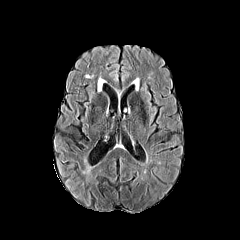
FLAIR MR.
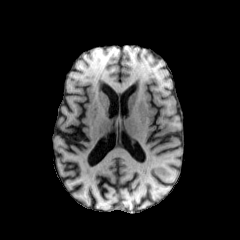
Same slice, T1-weighted MRI.
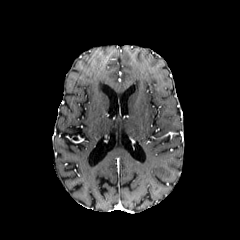
Post-contrast T1-weighted MR of the same slice.
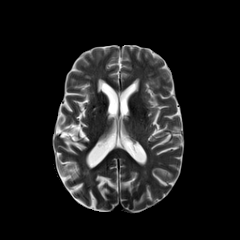
T2-weighted magnetic resonance.
Axial view | Brain
• peritumoral edema: rect(98, 78, 104, 91)